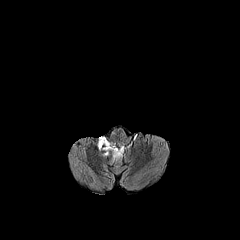
FLAIR magnetic resonance.
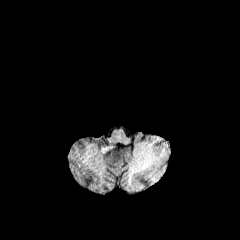
T1-weighted MR image.
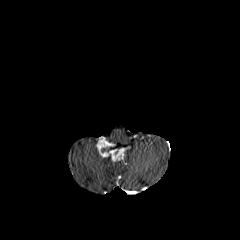
Post-contrast T1-weighted magnetic resonance of the same slice.
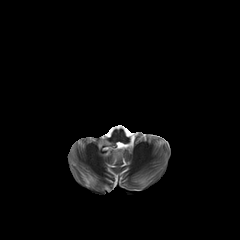
T2-weighted MR image of the same slice.
Head | Axial slice
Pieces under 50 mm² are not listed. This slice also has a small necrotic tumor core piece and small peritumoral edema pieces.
enhancing tumor: left=97, top=137, right=124, bottom=162